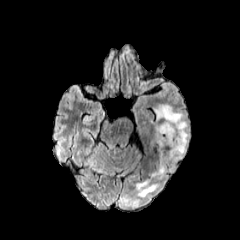
FLAIR MRI.
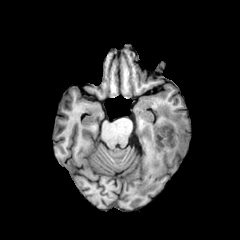
T1-weighted magnetic resonance of the same slice.
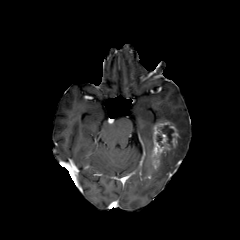
Post-contrast T1-weighted MRI.
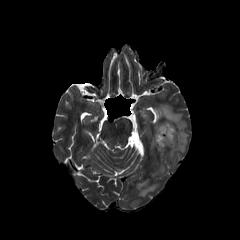
T2-weighted MR image.
Axial slice.
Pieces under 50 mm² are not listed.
<segmentation>
  <necrotic_tumor_core>rect(162, 125, 173, 145)</necrotic_tumor_core>
  <peritumoral_edema>rect(155, 104, 189, 161); rect(152, 153, 164, 176); rect(136, 179, 158, 196)</peritumoral_edema>
  <enhancing_tumor>rect(152, 120, 178, 168)</enhancing_tumor>
</segmentation>